FLAIR magnetic resonance.
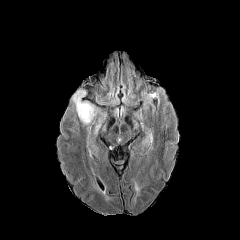
T1-weighted MR image.
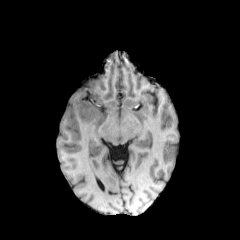
Post-contrast T1-weighted MRI.
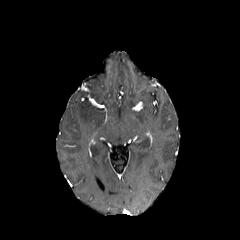
T2-weighted magnetic resonance.
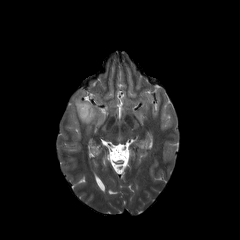
Axial view, Head
{
  "peritumoral_edema": [
    "bbox=[71, 86, 106, 133]"
  ]
}